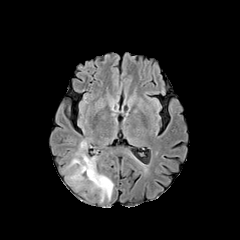
FLAIR magnetic resonance.
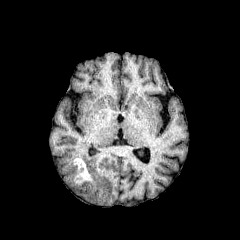
Same slice, T1-weighted MR.
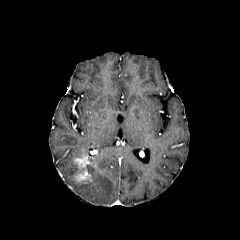
Post-contrast T1-weighted MR.
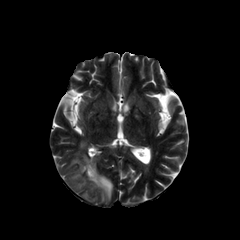
T2-weighted magnetic resonance.
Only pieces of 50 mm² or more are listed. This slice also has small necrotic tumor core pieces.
{"peritumoral_edema": ["l=87, t=166, r=113, b=202"], "enhancing_tumor": ["l=75, t=155, r=95, b=166", "l=75, t=171, r=89, b=180"]}